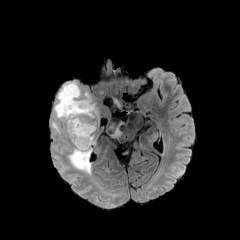
FLAIR magnetic resonance.
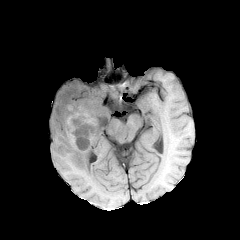
T1-weighted MR.
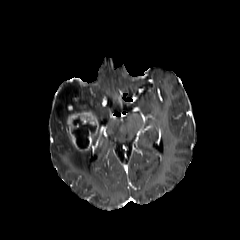
Post-contrast T1-weighted MRI.
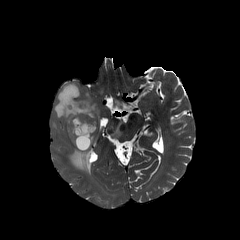
Same slice, T2-weighted MR image.
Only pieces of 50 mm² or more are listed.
{"necrotic_tumor_core": ["71,116,95,147"], "enhancing_tumor": ["67,105,99,150"], "peritumoral_edema": ["113,98,122,107", "107,120,123,138", "68,147,92,174", "52,121,60,133", "54,81,100,136"]}